Image width 240 mm, 1.00 mm slice spacing, Axial slice, 240x240 px, Head
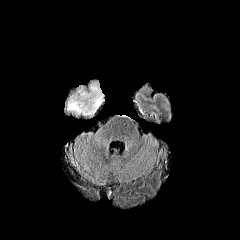
FLAIR MRI.
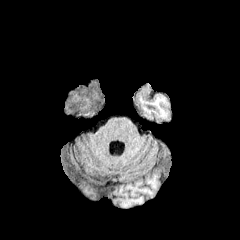
T1-weighted MR image.
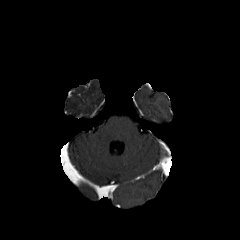
Post-contrast T1-weighted MR image.
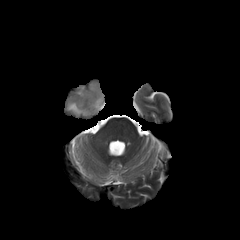
Same slice, T2-weighted MR.
peritumoral edema at 67, 82, 103, 115